FLAIR MR image.
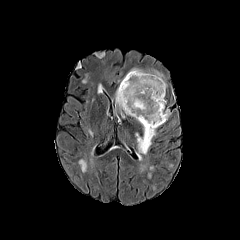
T1-weighted magnetic resonance.
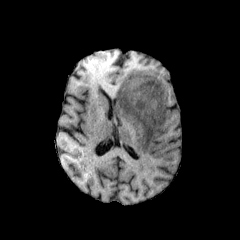
Post-contrast T1-weighted MR image.
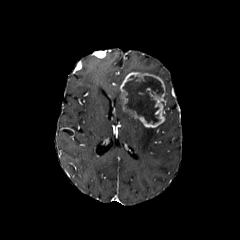
T2-weighted MRI.
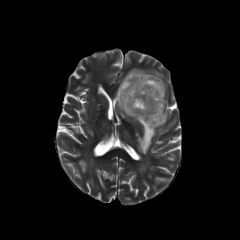
240x240 px, Brain
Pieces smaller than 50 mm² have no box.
The 3 largest peritumoral edema regions are bounded by (left=115, top=86, right=124, bottom=117), (left=128, top=68, right=166, bottom=88), (left=135, top=125, right=156, bottom=154). The largest enhancing tumor region is at (left=119, top=72, right=166, bottom=127). The largest necrotic tumor core region is located at (left=123, top=76, right=163, bottom=123).